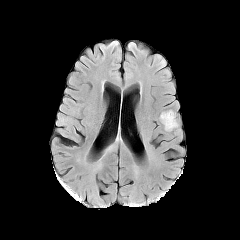
FLAIR MR image.
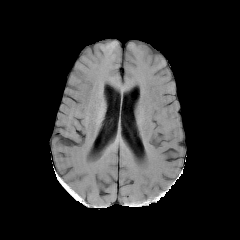
Same slice, T1-weighted MR image.
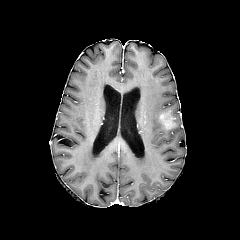
Post-contrast T1-weighted magnetic resonance.
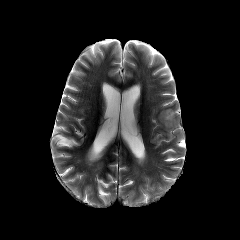
T2-weighted magnetic resonance of the same slice.
Axial view; Head
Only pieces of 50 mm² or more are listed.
peritumoral edema: box=[163, 118, 181, 134]; box=[160, 109, 176, 117] | enhancing tumor: box=[160, 111, 175, 129]